Image size 240x240 | Image width 240 mm, 1.00 mm slice spacing
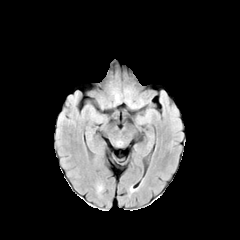
FLAIR magnetic resonance.
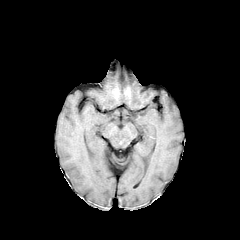
T1-weighted MR image.
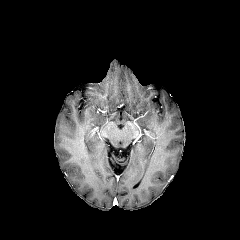
Post-contrast T1-weighted MRI of the same slice.
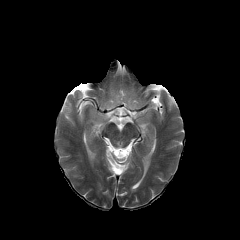
Same slice, T2-weighted magnetic resonance.
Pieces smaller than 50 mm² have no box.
peritumoral edema: region(126, 99, 143, 107)